Head | Image covers 240 mm x 240 mm | Slice 88 of 155
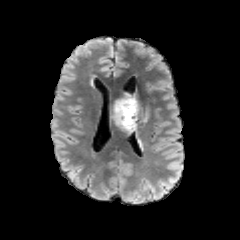
FLAIR magnetic resonance.
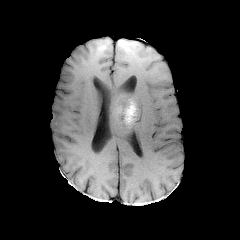
T1-weighted MR.
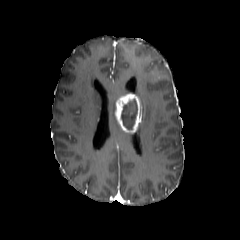
Post-contrast T1-weighted MRI.
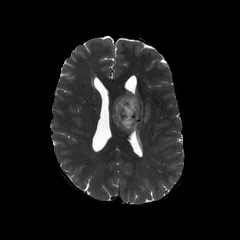
Same slice, T2-weighted MR.
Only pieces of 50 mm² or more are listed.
necrotic tumor core: (left=121, top=99, right=137, bottom=129) | enhancing tumor: (left=115, top=94, right=141, bottom=133) | peritumoral edema: (left=112, top=103, right=120, bottom=128), (left=142, top=108, right=148, bottom=121)